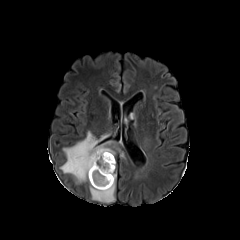
FLAIR MRI.
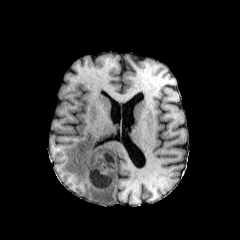
T1-weighted MRI.
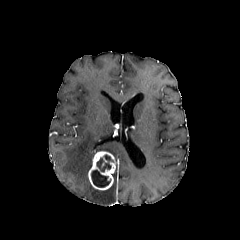
Post-contrast T1-weighted MR image.
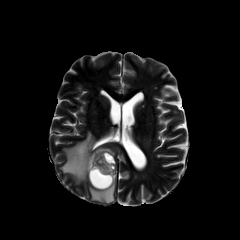
T2-weighted MR image of the same slice.
240x240 px. Axial slice.
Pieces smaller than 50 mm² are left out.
The enhancing tumor is bounded by 88,151,115,190. The 2 largest necrotic tumor core regions appear at 97,158,111,171; 91,170,110,187. The 2 largest peritumoral edema regions appear at 89,173,116,203; 60,131,123,183.